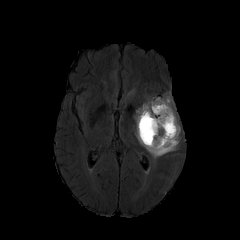
FLAIR MR image.
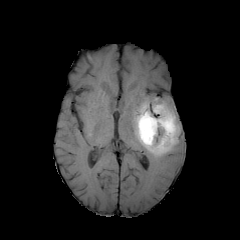
T1-weighted MRI.
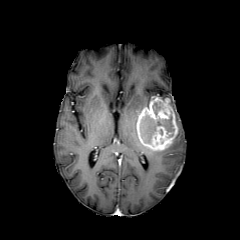
Post-contrast T1-weighted magnetic resonance.
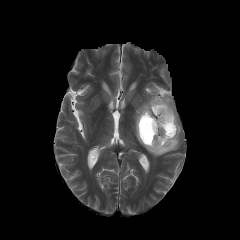
Same slice, T2-weighted MR image.
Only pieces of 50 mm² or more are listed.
The enhancing tumor appears at 136, 96, 177, 150. The 2 largest peritumoral edema regions appear at 143, 93, 180, 158; 134, 98, 151, 122. The 2 largest necrotic tumor core regions are located at 153, 103, 161, 114; 140, 115, 174, 143.